Brain, Slice 59 of 155, 240x240, Axial slice
FLAIR MR.
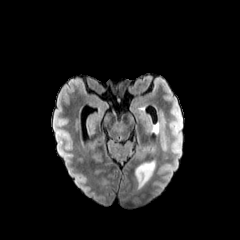
T1-weighted magnetic resonance.
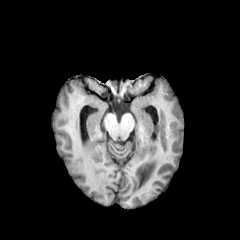
Post-contrast T1-weighted MRI.
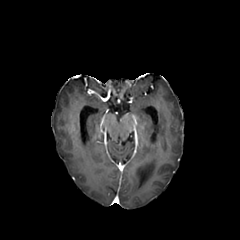
T2-weighted MRI.
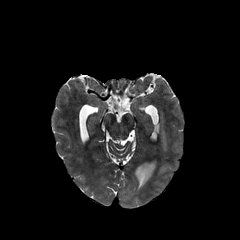
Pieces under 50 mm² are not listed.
The largest peritumoral edema region is bounded by region(152, 123, 158, 133).